Head. Slice index 104.
FLAIR MR.
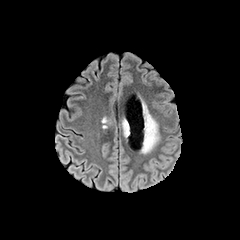
T1-weighted MR.
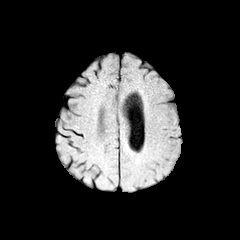
Post-contrast T1-weighted MR.
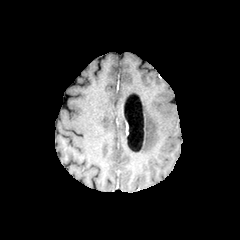
T2-weighted MRI.
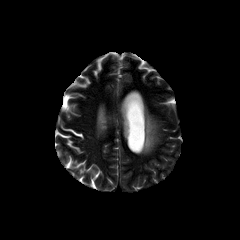
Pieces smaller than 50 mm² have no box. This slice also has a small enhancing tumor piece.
peritumoral_edema:
  - 141:102:160:153
  - 102:117:109:128
  - 122:119:129:137